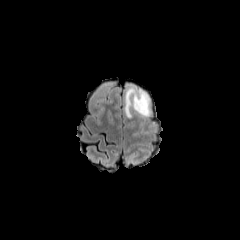
FLAIR MRI.
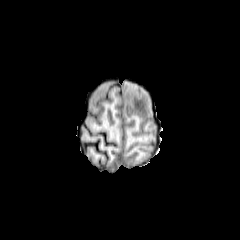
Same slice, T1-weighted MR image.
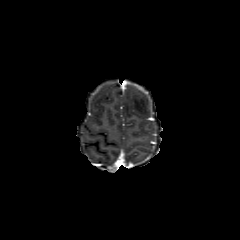
Post-contrast T1-weighted magnetic resonance of the same slice.
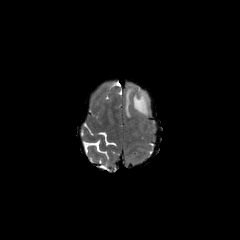
Same slice, T2-weighted MR.
Head.
peritumoral edema: (125,86,150,117)